FLAIR MR.
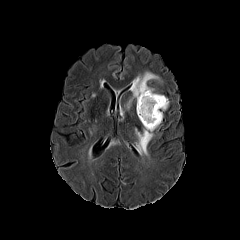
T1-weighted magnetic resonance.
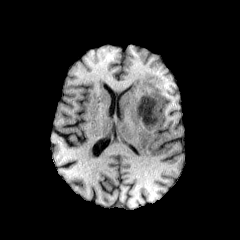
Post-contrast T1-weighted MR image.
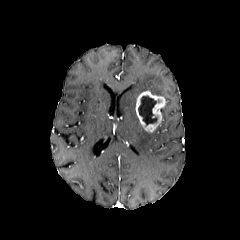
T2-weighted MRI.
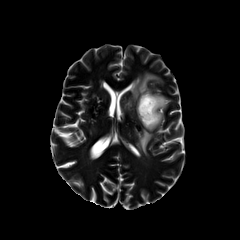
240x240
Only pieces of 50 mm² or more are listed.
<segmentation>
  <peritumoral_edema>region(135, 128, 153, 155); region(126, 72, 163, 108)</peritumoral_edema>
  <enhancing_tumor>region(135, 91, 167, 132)</enhancing_tumor>
  <necrotic_tumor_core>region(138, 96, 157, 125)</necrotic_tumor_core>
</segmentation>